Axial slice
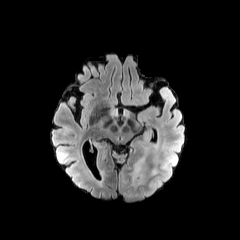
FLAIR magnetic resonance.
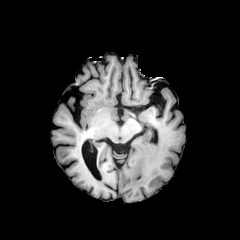
Same slice, T1-weighted MRI.
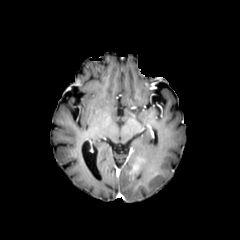
Post-contrast T1-weighted MR of the same slice.
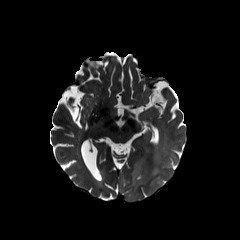
T2-weighted MR image.
* peritumoral edema: <box>150,169,157,177</box>, <box>129,155,146,186</box>
* enhancing tumor: <box>131,164,139,173</box>